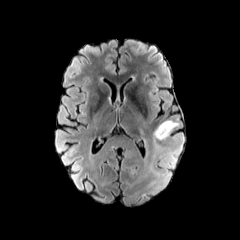
FLAIR MRI.
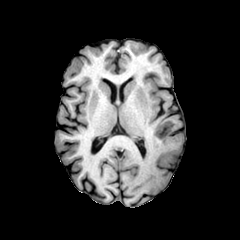
T1-weighted MR image of the same slice.
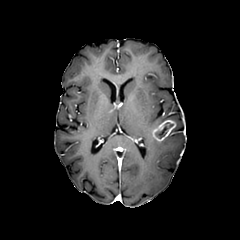
Same slice, post-contrast T1-weighted MR image.
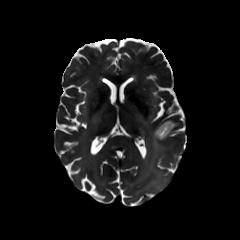
T2-weighted MR image of the same slice.
Head | Axial slice | Image size 240x240
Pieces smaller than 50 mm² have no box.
<segmentation>
  <necrotic_tumor_core>[155, 126, 167, 138]</necrotic_tumor_core>
  <enhancing_tumor>[152, 119, 176, 141]</enhancing_tumor>
  <peritumoral_edema>[150, 139, 164, 175]</peritumoral_edema>
</segmentation>